Brain; Axial view; Slice 95/155
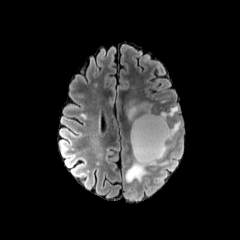
FLAIR MRI.
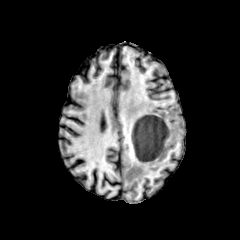
Same slice, T1-weighted MRI.
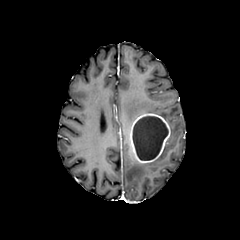
Same slice, post-contrast T1-weighted MR.
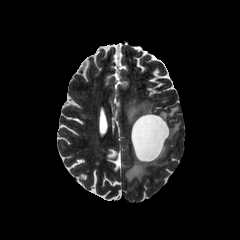
Same slice, T2-weighted MR.
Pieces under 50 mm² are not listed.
The 4 largest peritumoral edema regions are bounded by 160, 106, 178, 119; 124, 99, 152, 122; 169, 122, 180, 138; 126, 146, 167, 182. The enhancing tumor is at 130, 113, 170, 163. The necrotic tumor core lies within 132, 116, 168, 160.